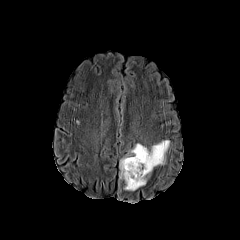
FLAIR MR.
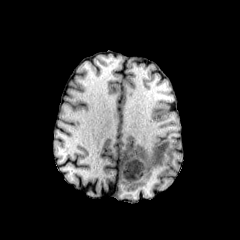
T1-weighted MRI of the same slice.
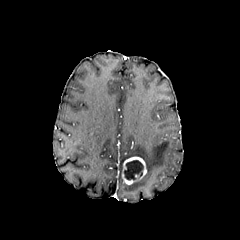
Post-contrast T1-weighted MR.
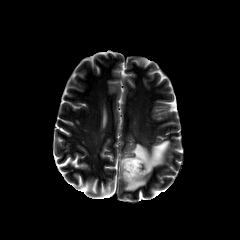
T2-weighted MR image.
Axial plane, Image size 240x240, Brain
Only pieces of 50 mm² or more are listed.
necrotic tumor core: bounding box bbox=[124, 160, 143, 180]
peritumoral edema: bounding box bbox=[119, 140, 169, 191]
enhancing tumor: bounding box bbox=[121, 156, 146, 184]